FLAIR MRI.
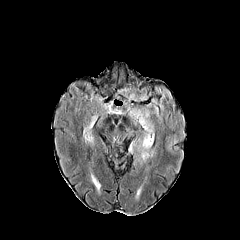
T1-weighted MR.
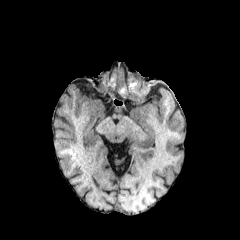
Post-contrast T1-weighted MRI.
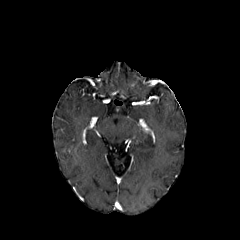
T2-weighted MRI.
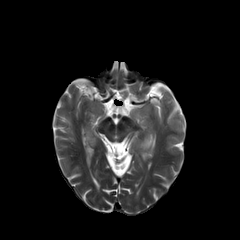
Head
peritumoral_edema:
  - x1=83 y1=115 x2=97 y2=146
  - x1=141 y1=149 x2=149 y2=161
  - x1=139 y1=117 x2=154 y2=149